240x240
FLAIR MR image.
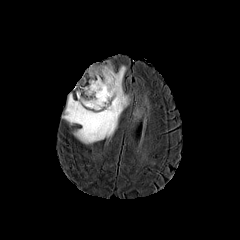
T1-weighted MR image.
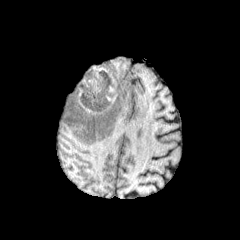
Post-contrast T1-weighted MR image.
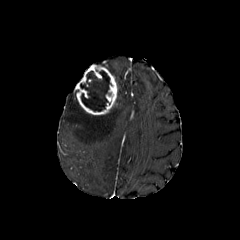
T2-weighted MR image.
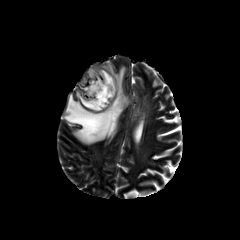
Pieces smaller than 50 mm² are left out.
necrotic tumor core: l=80, t=70, r=111, b=111
enhancing tumor: l=75, t=64, r=118, b=115
peritumoral edema: l=62, t=62, r=130, b=144